FLAIR magnetic resonance.
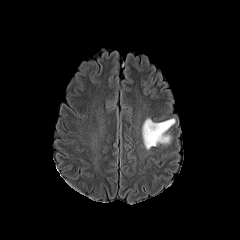
T1-weighted magnetic resonance.
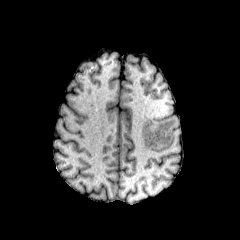
Post-contrast T1-weighted MR image.
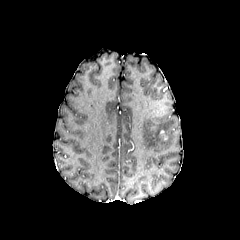
T2-weighted MR image.
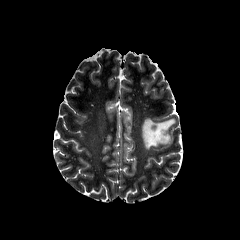
Axial slice
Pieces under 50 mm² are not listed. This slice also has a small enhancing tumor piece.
peritumoral edema at region(142, 118, 175, 149)